FLAIR magnetic resonance.
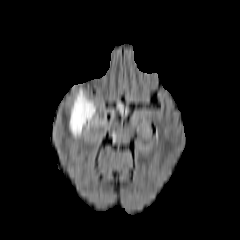
T1-weighted MR image.
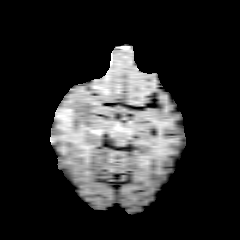
Post-contrast T1-weighted magnetic resonance.
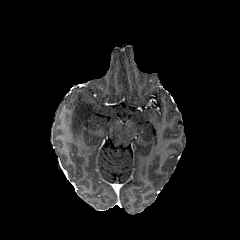
T2-weighted magnetic resonance.
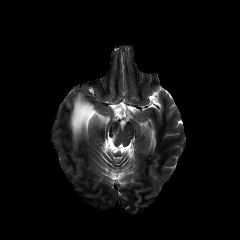
Head; Axial slice
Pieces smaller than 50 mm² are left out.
<segmentation>
  <peritumoral_edema>bbox=[70, 91, 110, 138]; bbox=[112, 131, 118, 142]</peritumoral_edema>
</segmentation>